Brain. Axial plane. Slice 46 of 155.
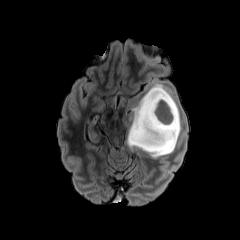
FLAIR MRI.
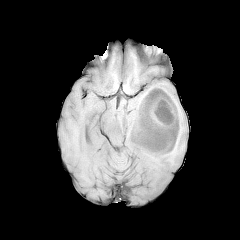
T1-weighted MR.
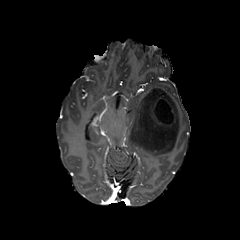
Post-contrast T1-weighted MRI of the same slice.
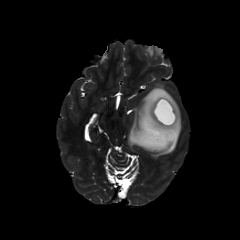
Same slice, T2-weighted MR image.
enhancing tumor: <bbox>150, 96, 175, 126</bbox> | necrotic tumor core: <bbox>155, 100, 172, 123</bbox> | peritumoral edema: <bbox>127, 84, 181, 158</bbox>